240x240 px
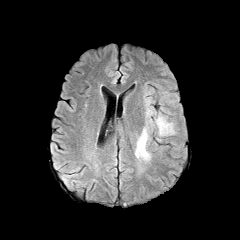
FLAIR MR.
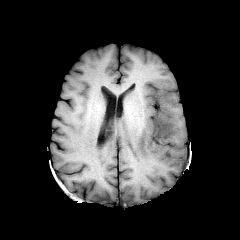
Same slice, T1-weighted MR image.
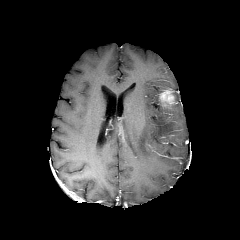
Same slice, post-contrast T1-weighted MR image.
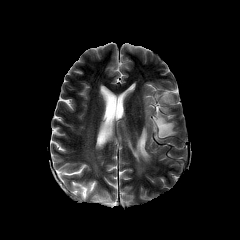
T2-weighted MRI.
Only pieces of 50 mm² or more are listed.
<segmentation>
  <peritumoral_edema><box>135,126,150,161</box>, <box>145,98,152,116</box>, <box>155,113,175,136</box></peritumoral_edema>
  <enhancing_tumor><box>160,90,174,105</box></enhancing_tumor>
</segmentation>